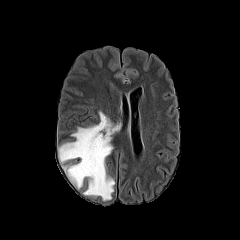
FLAIR MR.
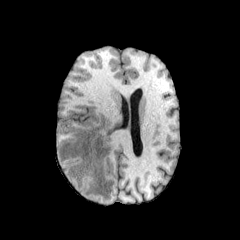
T1-weighted MR image of the same slice.
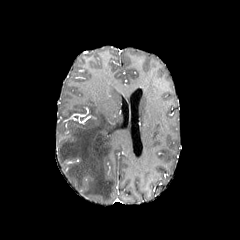
Post-contrast T1-weighted MR of the same slice.
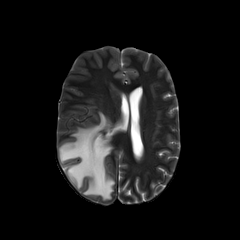
T2-weighted MR of the same slice.
Findings:
* peritumoral edema: (58, 111, 121, 200)